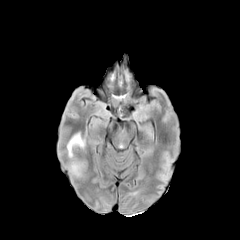
FLAIR MRI.
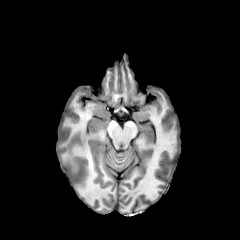
Same slice, T1-weighted MRI.
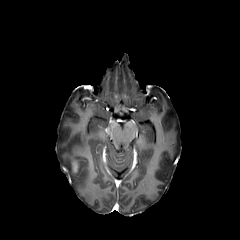
Post-contrast T1-weighted MR.
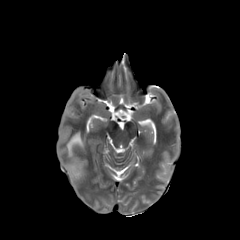
T2-weighted magnetic resonance.
Image size 240x240
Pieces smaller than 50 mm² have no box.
enhancing_tumor:
  - <bbox>72, 160, 78, 173</bbox>
peritumoral_edema:
  - <bbox>73, 162, 83, 176</bbox>
  - <bbox>67, 132, 85, 157</bbox>